Slice 81/155; Brain; 240x240
FLAIR MR image.
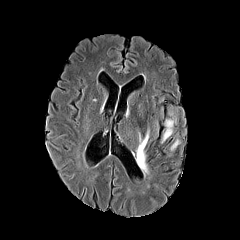
T1-weighted MRI.
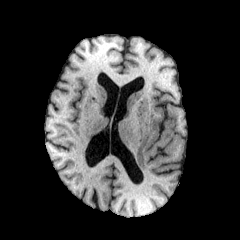
Post-contrast T1-weighted MRI.
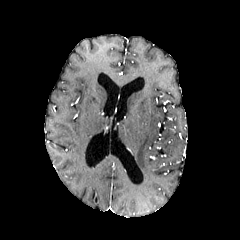
T2-weighted MR.
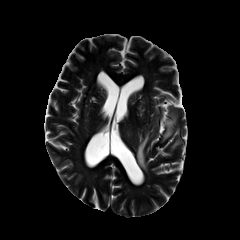
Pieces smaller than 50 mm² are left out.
peritumoral edema: <bbox>162, 120, 173, 142</bbox>, <bbox>136, 131, 148, 172</bbox>